Image size 240x240. Slice index 57. Axial view.
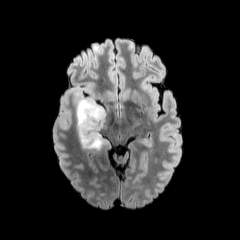
FLAIR MR image.
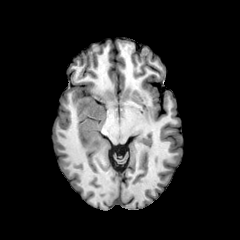
T1-weighted magnetic resonance of the same slice.
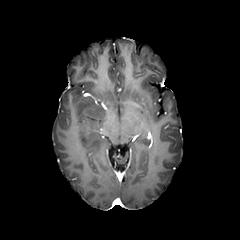
Same slice, post-contrast T1-weighted MR.
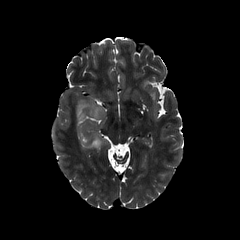
T2-weighted MR.
peritumoral edema: [74,91,107,151]